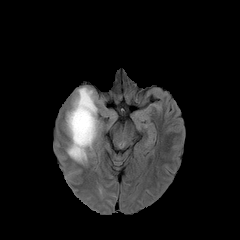
FLAIR MR.
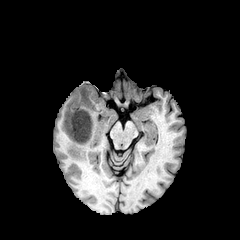
Same slice, T1-weighted MR image.
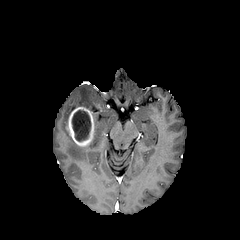
Post-contrast T1-weighted MR image.
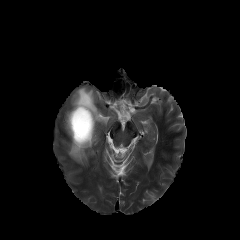
T2-weighted MR.
Axial slice, Brain
Findings:
- enhancing tumor: bbox(66, 106, 94, 146)
- peritumoral edema: bbox(66, 87, 98, 163)
- necrotic tumor core: bbox(72, 110, 90, 141)